Slice 66 of 155; Head
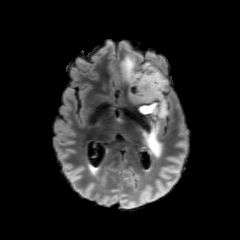
FLAIR magnetic resonance.
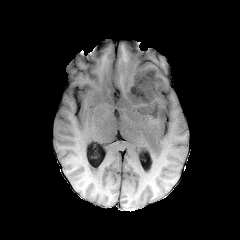
T1-weighted magnetic resonance.
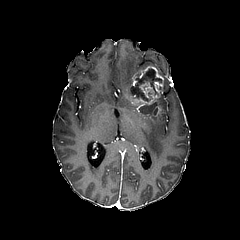
Post-contrast T1-weighted MR image.
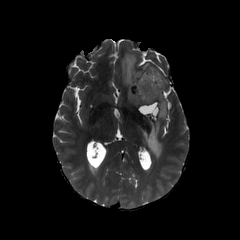
T2-weighted MR of the same slice.
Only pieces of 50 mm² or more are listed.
peritumoral edema: (121, 54, 139, 86), (142, 94, 167, 157) | enhancing tumor: (130, 66, 164, 110), (143, 105, 161, 117) | necrotic tumor core: (132, 68, 161, 101), (140, 103, 156, 113)